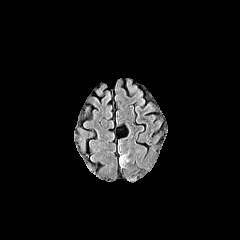
FLAIR MR image.
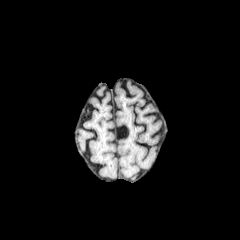
T1-weighted MR.
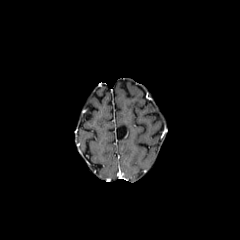
Same slice, post-contrast T1-weighted magnetic resonance.
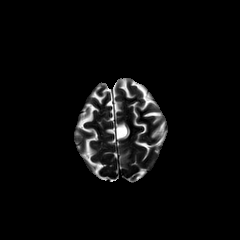
T2-weighted MR.
240x240. Axial view.
peritumoral edema — left=119, top=155, right=127, bottom=165